Brain, Axial slice, Slice index 91
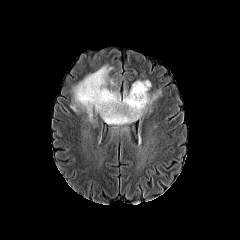
FLAIR MR image.
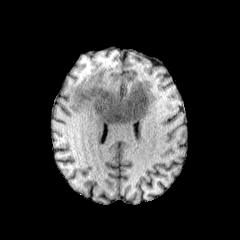
T1-weighted MR image.
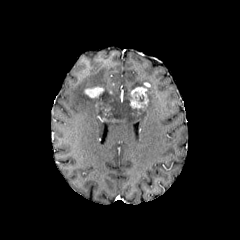
Post-contrast T1-weighted MRI of the same slice.
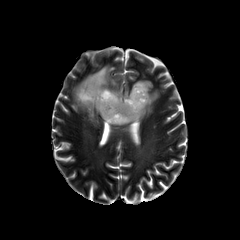
T2-weighted MR.
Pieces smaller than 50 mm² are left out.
The largest necrotic tumor core region is located at x1=92 y1=98 x2=145 y2=122. The 2 largest peritumoral edema regions are bounded by x1=71 y1=65 x2=150 y2=121, x1=106 y1=88 x2=160 y2=129. The 2 largest enhancing tumor regions are located at x1=130 y1=87 x2=148 y2=109, x1=84 y1=86 x2=104 y2=97.